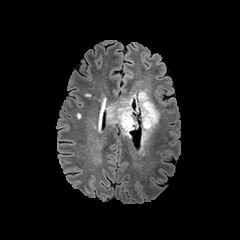
FLAIR MR image.
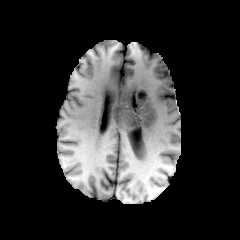
T1-weighted magnetic resonance of the same slice.
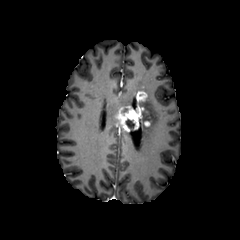
Post-contrast T1-weighted MR of the same slice.
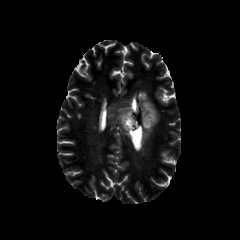
T2-weighted MR image.
Brain; 240x240
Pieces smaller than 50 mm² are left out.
Segmented structures:
* enhancing tumor: {"x1": 117, "y1": 92, "x2": 147, "y2": 131}
* peritumoral edema: {"x1": 107, "y1": 92, "x2": 137, "y2": 138}, {"x1": 139, "y1": 98, "x2": 158, "y2": 142}
* necrotic tumor core: {"x1": 125, "y1": 120, "x2": 135, "y2": 129}